240x240 | Axial plane | Head
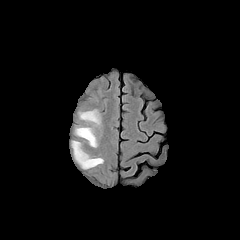
FLAIR magnetic resonance.
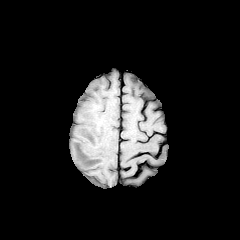
T1-weighted MRI.
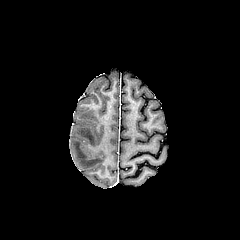
Same slice, post-contrast T1-weighted MR image.
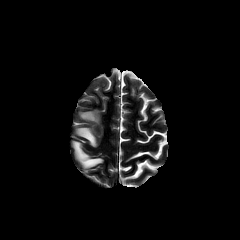
T2-weighted magnetic resonance.
• peritumoral edema: region(75, 127, 97, 147); region(72, 141, 103, 168); region(79, 110, 100, 124)